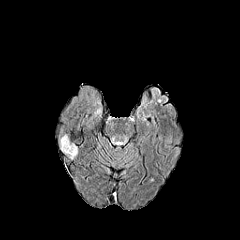
FLAIR MR image.
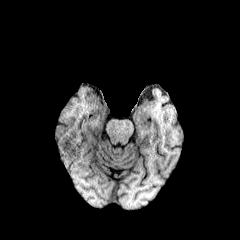
Same slice, T1-weighted MR image.
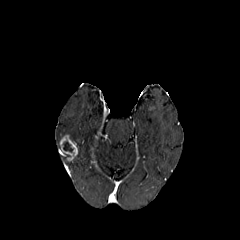
Post-contrast T1-weighted MR image.
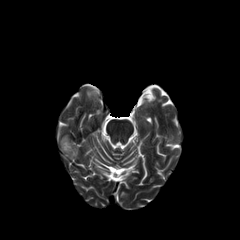
Same slice, T2-weighted MR image.
Brain.
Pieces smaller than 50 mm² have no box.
The largest necrotic tumor core region is at 63:141:73:152. The enhancing tumor is located at 59:135:77:160.